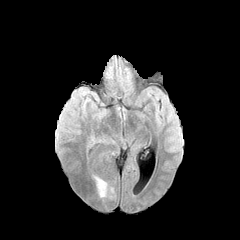
FLAIR MR.
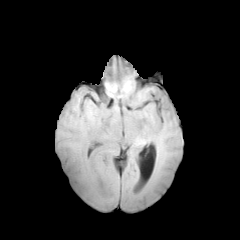
T1-weighted MRI.
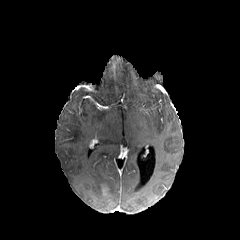
Post-contrast T1-weighted MR image.
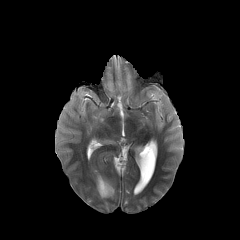
T2-weighted magnetic resonance of the same slice.
Head, Image size 240x240, Axial plane
Annotated regions:
* peritumoral edema: rect(95, 177, 113, 197)
* enhancing tumor: rect(101, 185, 109, 196)